FLAIR MRI.
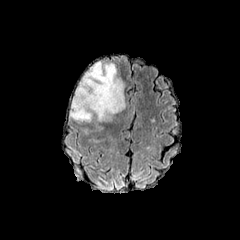
T1-weighted magnetic resonance.
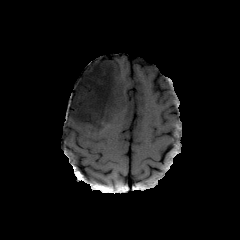
Post-contrast T1-weighted MR.
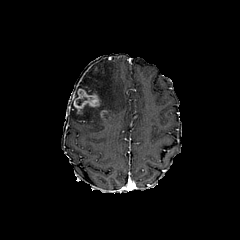
T2-weighted MRI.
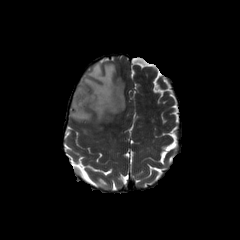
Head; Axial slice
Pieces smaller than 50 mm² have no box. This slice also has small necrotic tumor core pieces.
{
  "peritumoral_edema": [
    "(x1=69, y1=61, x2=125, y2=123)"
  ],
  "enhancing_tumor": [
    "(x1=99, y1=110, x2=111, y2=121)",
    "(x1=73, y1=87, x2=100, y2=114)"
  ]
}